Slice index 47; Head; Axial plane
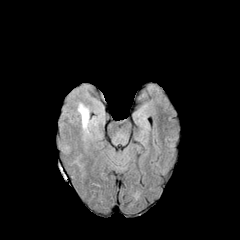
FLAIR MR image.
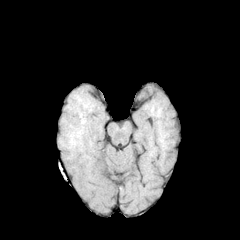
T1-weighted MR.
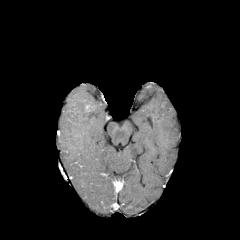
Post-contrast T1-weighted magnetic resonance.
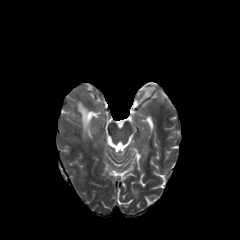
T2-weighted MR image.
Findings:
• peritumoral edema: (77, 102, 92, 136)